FLAIR MR.
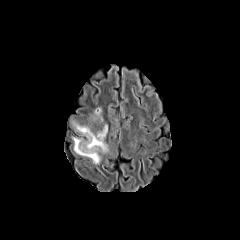
T1-weighted MRI.
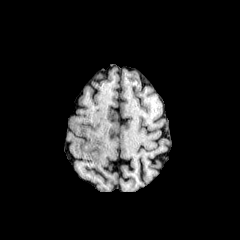
Post-contrast T1-weighted MR image.
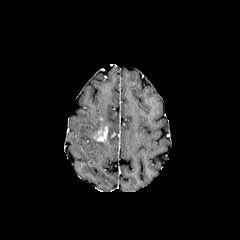
T2-weighted MR.
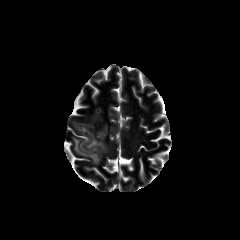
Axial view
The enhancing tumor is bounded by 93:126:107:141. 2 peritumoral edema regions appear at 93:108:101:119, 72:122:108:164.